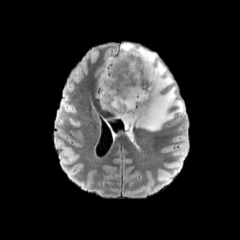
FLAIR MR.
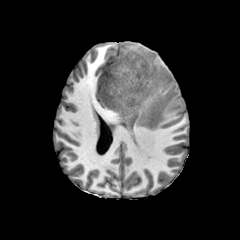
T1-weighted MR image of the same slice.
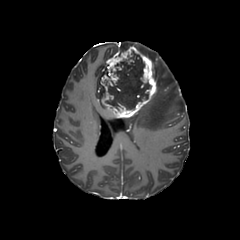
Post-contrast T1-weighted MRI.
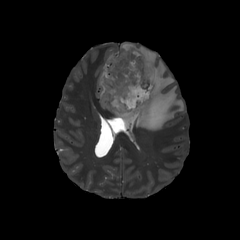
T2-weighted MRI.
Head
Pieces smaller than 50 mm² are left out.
necrotic tumor core at rect(106, 51, 149, 109)
enhancing tumor at rect(100, 46, 156, 117)
peritumoral edema at rect(120, 43, 184, 133)